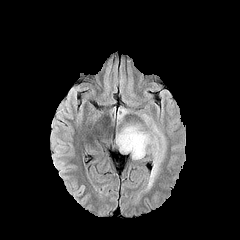
FLAIR magnetic resonance.
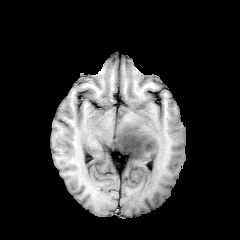
T1-weighted MR of the same slice.
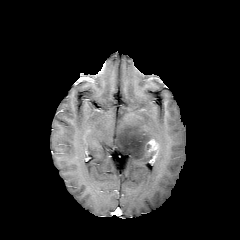
Same slice, post-contrast T1-weighted MR.
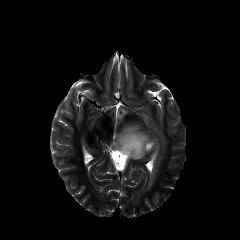
T2-weighted MR image of the same slice.
Image size 240x240, Brain
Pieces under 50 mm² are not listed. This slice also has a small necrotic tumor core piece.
peritumoral edema at x1=115 y1=114 x2=165 y2=181, x1=117 y1=108 x2=127 y2=124
enhancing tumor at x1=147 y1=139 x2=158 y2=152